FLAIR MR image.
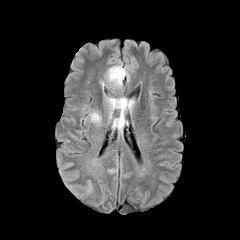
T1-weighted MRI.
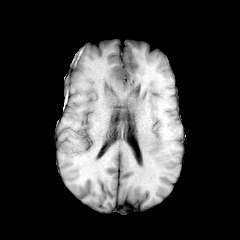
Post-contrast T1-weighted MR image.
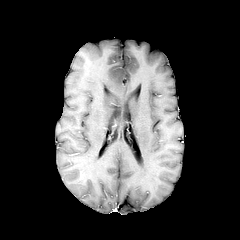
T2-weighted MR.
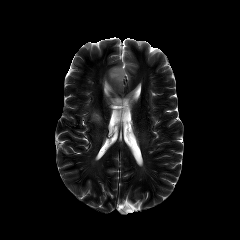
240x240 px, Axial view
3 peritumoral edema regions are bounded by x1=106 y1=65 x2=128 y2=89, x1=90 y1=111 x2=101 y2=123, x1=113 y1=118 x2=125 y2=127.